FLAIR MR image.
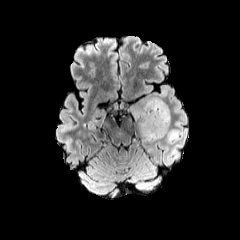
T1-weighted magnetic resonance.
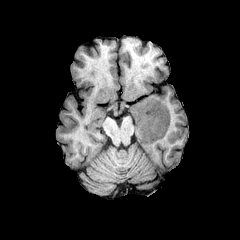
Post-contrast T1-weighted MRI.
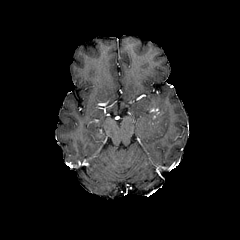
T2-weighted MR image.
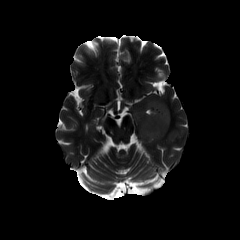
Brain
enhancing tumor = bbox(149, 103, 163, 119)
peritumoral edema = bbox(132, 96, 169, 141)